Axial view | 240x240
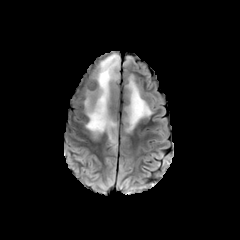
FLAIR MR.
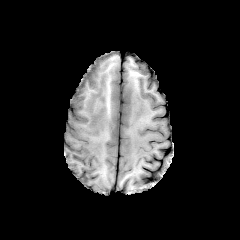
T1-weighted MR.
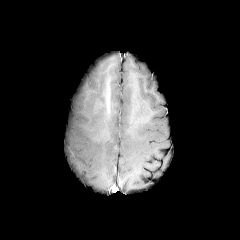
Post-contrast T1-weighted MR image.
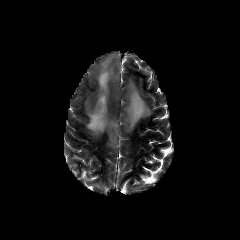
Same slice, T2-weighted MRI.
peritumoral edema = bbox=[84, 53, 119, 150]; bbox=[125, 76, 152, 132]